Brain, 240x240 px, Slice 90 of 155
FLAIR MR image.
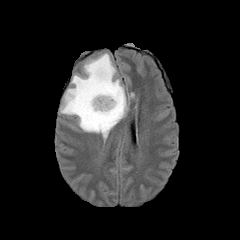
T1-weighted magnetic resonance.
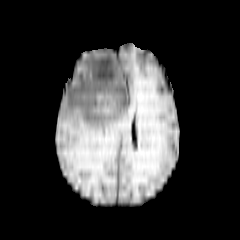
Post-contrast T1-weighted magnetic resonance.
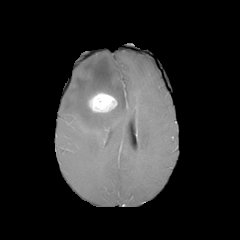
T2-weighted magnetic resonance.
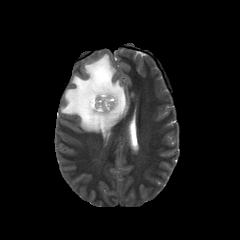
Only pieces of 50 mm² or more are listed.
enhancing tumor — (87,91,117,113)
peritumoral edema — (60,53,127,138)